FLAIR MR.
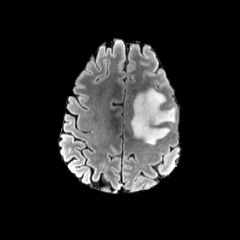
T1-weighted MRI.
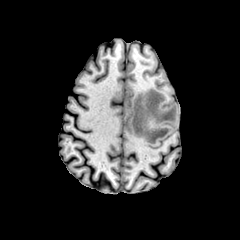
Post-contrast T1-weighted MR image.
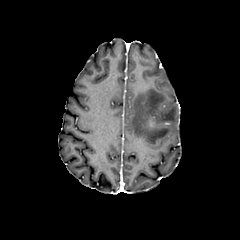
T2-weighted MR.
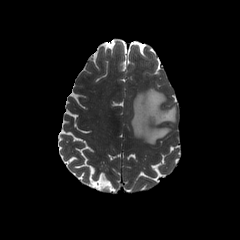
240x240 px, Axial slice
* peritumoral edema: [130, 88, 175, 144]